FLAIR MR.
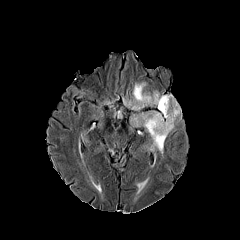
T1-weighted MR.
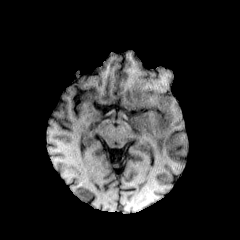
Post-contrast T1-weighted MR image.
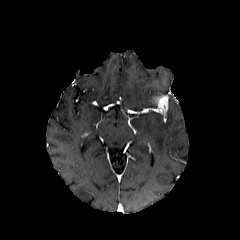
T2-weighted MR.
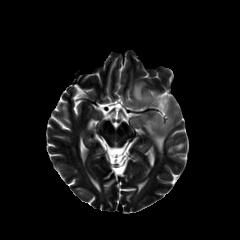
Axial view, Brain
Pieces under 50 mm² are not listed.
<segmentation>
  <enhancing_tumor><box>151,95,169,117</box></enhancing_tumor>
  <peritumoral_edema><box>142,101,180,153</box>, <box>132,82,153,109</box></peritumoral_edema>
</segmentation>